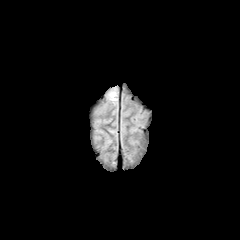
FLAIR magnetic resonance.
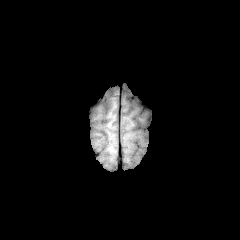
T1-weighted magnetic resonance.
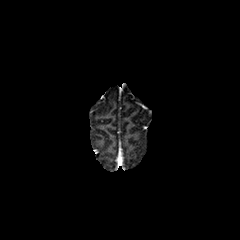
Post-contrast T1-weighted magnetic resonance of the same slice.
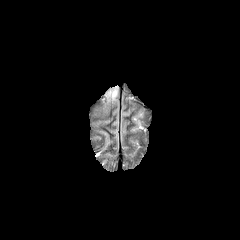
T2-weighted MR image.
Head
Annotated regions:
- peritumoral edema: [x1=107, y1=89, x2=117, y2=101]